Image size 240x240 | Slice 68 of 155 | Axial view
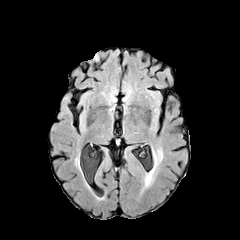
FLAIR magnetic resonance.
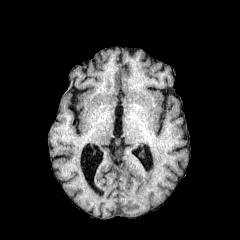
T1-weighted MRI of the same slice.
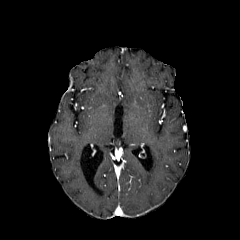
Same slice, post-contrast T1-weighted MR image.
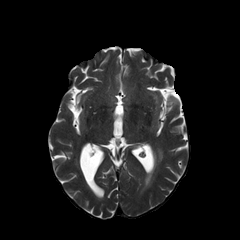
T2-weighted MR image.
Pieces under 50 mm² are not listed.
The largest peritumoral edema region is bounded by l=145, t=155, r=157, b=186.